Axial plane; Slice 92/155
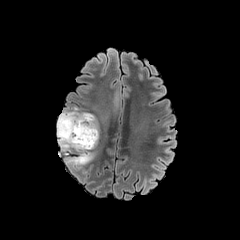
FLAIR MR.
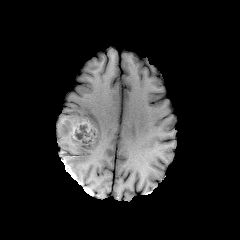
T1-weighted MR of the same slice.
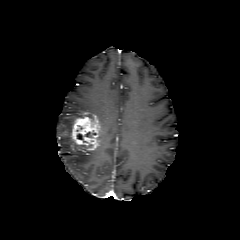
Post-contrast T1-weighted MR.
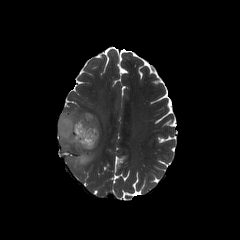
T2-weighted magnetic resonance.
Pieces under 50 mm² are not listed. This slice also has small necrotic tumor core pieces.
peritumoral edema — (left=57, top=107, right=94, bottom=168)
enhancing tumor — (left=70, top=112, right=100, bottom=150)